Slice 102/155, 240x240, Brain, Image width 240 mm, Axial view
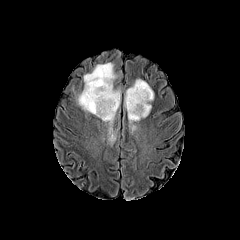
FLAIR MR.
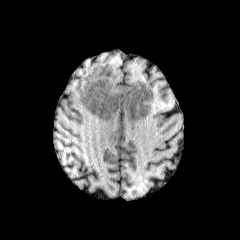
T1-weighted MRI of the same slice.
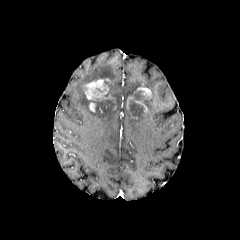
Post-contrast T1-weighted magnetic resonance.
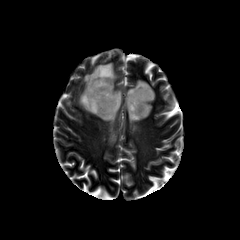
T2-weighted MR.
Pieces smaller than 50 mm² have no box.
The 2 largest necrotic tumor core regions are bounded by bbox(89, 96, 114, 110); bbox(127, 89, 148, 117). 2 peritumoral edema regions are located at bbox(77, 63, 120, 136); bbox(124, 79, 154, 132). The 3 largest enhancing tumor regions are bounded by bbox(137, 83, 152, 99); bbox(89, 102, 95, 112); bbox(84, 79, 110, 100).